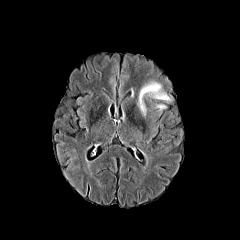
FLAIR magnetic resonance.
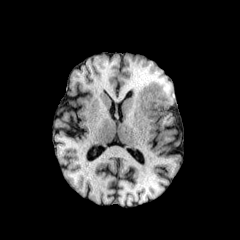
T1-weighted MR image of the same slice.
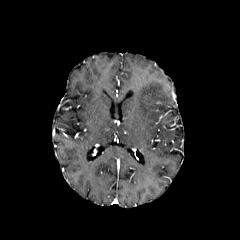
Post-contrast T1-weighted MR image.
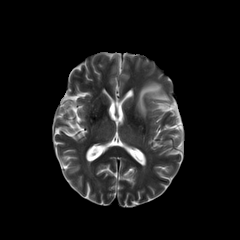
T2-weighted MRI.
240x240
2 peritumoral edema regions are bounded by <bbox>156, 104, 167, 109</bbox>, <bbox>137, 81, 170, 115</bbox>.